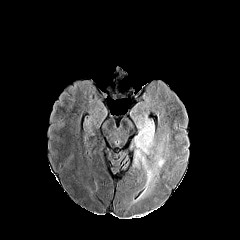
FLAIR MR image.
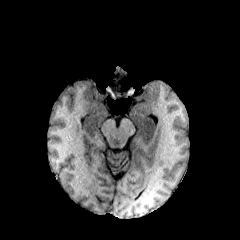
T1-weighted magnetic resonance of the same slice.
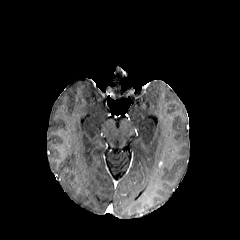
Post-contrast T1-weighted MRI.
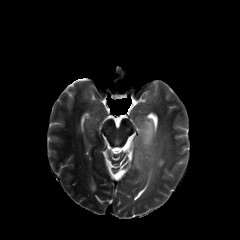
T2-weighted MR of the same slice.
240x240. Axial view.
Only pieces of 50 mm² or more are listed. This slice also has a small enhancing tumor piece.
<segmentation>
  <peritumoral_edema>(134,118,164,197)</peritumoral_edema>
</segmentation>